FLAIR MR.
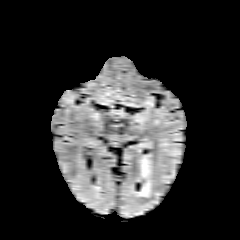
T1-weighted magnetic resonance.
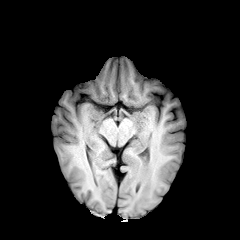
Post-contrast T1-weighted MR.
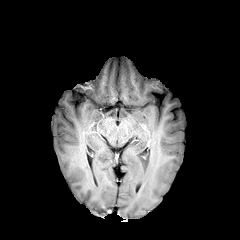
T2-weighted MRI.
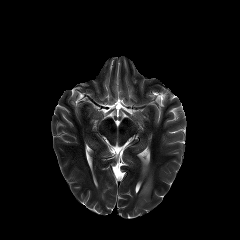
Head; 240x240
Findings:
- peritumoral edema: (x1=137, y1=160, x2=151, y2=197)